240x240. Axial slice. Slice index 85.
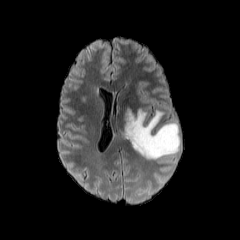
FLAIR MRI.
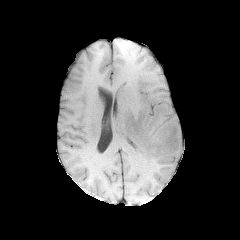
T1-weighted MRI.
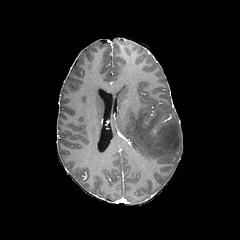
Post-contrast T1-weighted MR of the same slice.
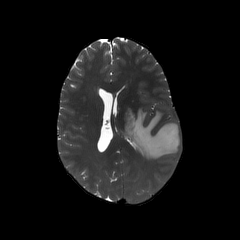
T2-weighted magnetic resonance.
peritumoral edema: bounding box x1=123 y1=109 x2=180 y2=159